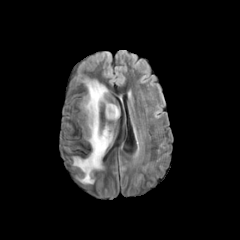
FLAIR magnetic resonance.
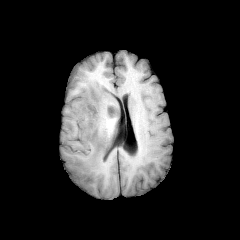
T1-weighted MR image.
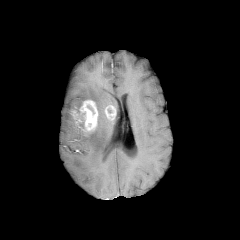
Post-contrast T1-weighted magnetic resonance.
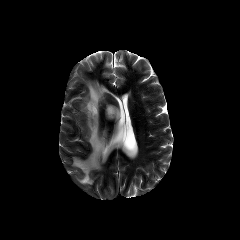
T2-weighted MR image.
Brain.
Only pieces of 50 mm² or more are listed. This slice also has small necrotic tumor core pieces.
2 peritumoral edema regions are bounded by [73, 80, 112, 183], [106, 103, 119, 118]. 2 enhancing tumor regions appear at [81, 100, 97, 131], [105, 105, 116, 118].